240x240; Brain; Axial plane
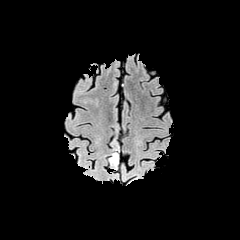
FLAIR MR image.
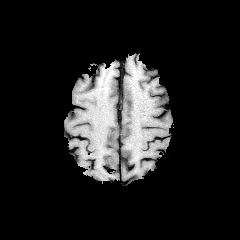
Same slice, T1-weighted MR.
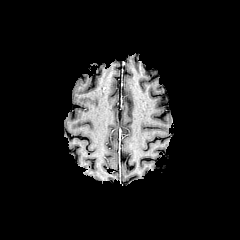
Same slice, post-contrast T1-weighted magnetic resonance.
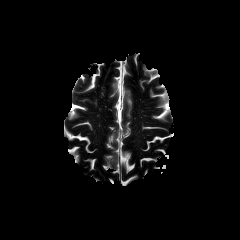
T2-weighted MRI.
peritumoral edema — x1=108 y1=153 x2=118 y2=169